FLAIR MR image.
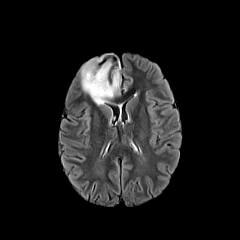
T1-weighted magnetic resonance.
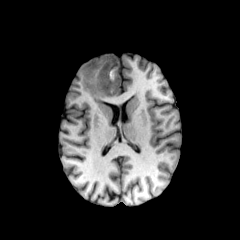
Post-contrast T1-weighted MR image.
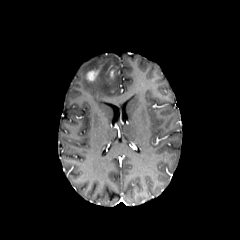
T2-weighted MRI.
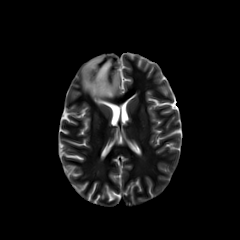
Axial slice, Head
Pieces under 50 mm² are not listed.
{"enhancing_tumor": ["<box>86,70,98,81</box>"], "peritumoral_edema": ["<box>80,55,120,105</box>"]}